FLAIR MR.
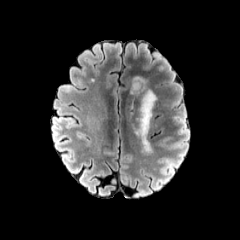
T1-weighted magnetic resonance.
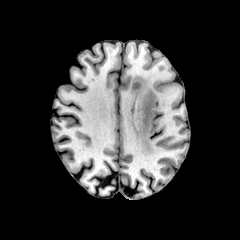
Post-contrast T1-weighted MR image.
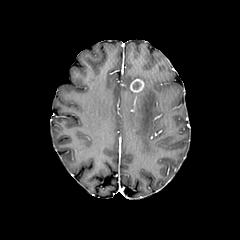
T2-weighted MR image.
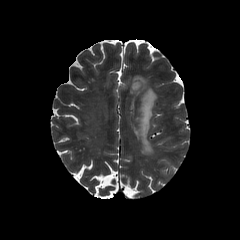
Brain; Axial view
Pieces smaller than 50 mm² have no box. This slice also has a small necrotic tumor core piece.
peritumoral edema — (x1=133, y1=76, x2=156, y2=153)
enhancing tumor — (x1=130, y1=79, x2=144, y2=92)